FLAIR MR.
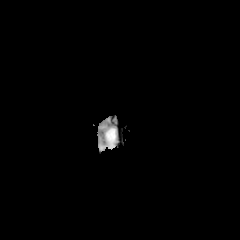
T1-weighted MR image.
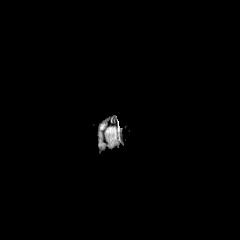
Post-contrast T1-weighted MRI.
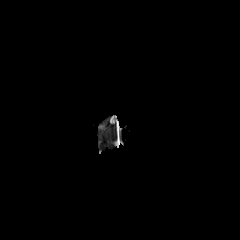
T2-weighted MRI.
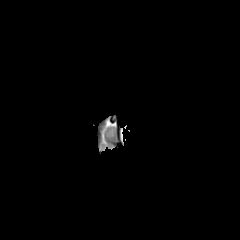
Head; Axial slice
{
  "peritumoral_edema": [
    "region(106, 129, 114, 147)"
  ]
}